FLAIR MR.
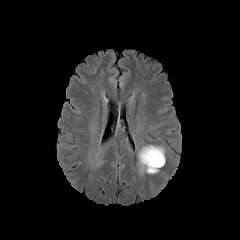
T1-weighted magnetic resonance.
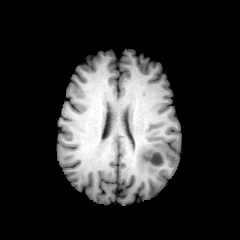
Post-contrast T1-weighted MR image.
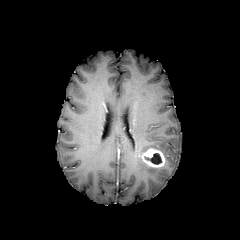
T2-weighted MR.
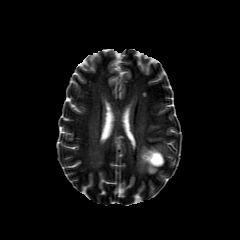
Head | Axial view
{"peritumoral_edema": ["138:145:164:173"], "necrotic_tumor_core": ["145:153:161:164"], "enhancing_tumor": ["140:148:164:167"]}